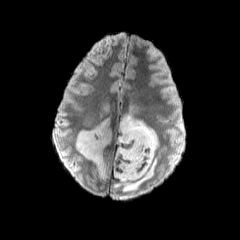
FLAIR MRI.
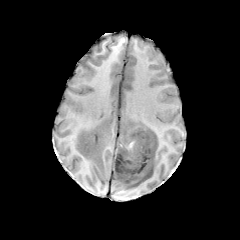
Same slice, T1-weighted MRI.
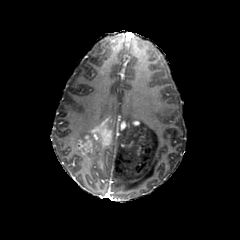
Same slice, post-contrast T1-weighted MR image.
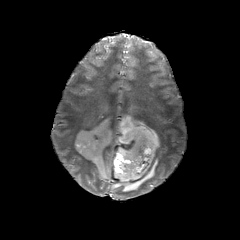
T2-weighted MRI of the same slice.
Axial slice
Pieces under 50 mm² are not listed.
peritumoral edema = left=113, top=100, right=158, bottom=191; left=93, top=151, right=104, bottom=175; left=76, top=129, right=90, bottom=141; left=103, top=104, right=112, bottom=118
enhancing tumor = left=75, top=112, right=127, bottom=160
necrotic tumor core = left=90, top=135, right=101, bottom=150